Brain, Axial slice, Slice 127 of 155
FLAIR MR.
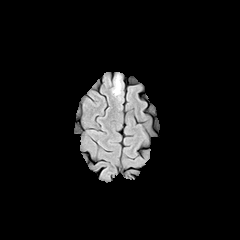
T1-weighted MRI.
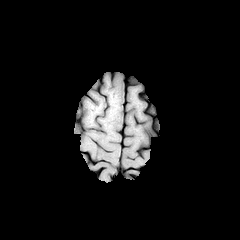
Post-contrast T1-weighted MR.
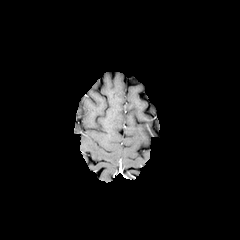
T2-weighted MRI.
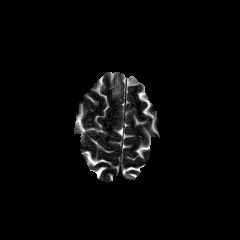
<segmentation>
  <peritumoral_edema>[113, 75, 121, 94]</peritumoral_edema>
</segmentation>